Head; Slice 119 of 155; Axial slice; 240x240
FLAIR MR.
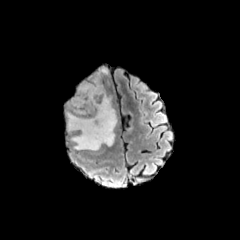
T1-weighted magnetic resonance.
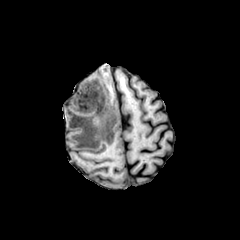
Post-contrast T1-weighted MR.
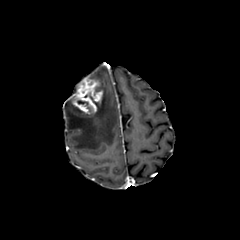
T2-weighted MR.
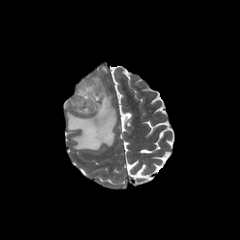
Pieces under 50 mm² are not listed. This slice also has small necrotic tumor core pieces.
enhancing_tumor:
  - bbox=[72, 77, 102, 114]
peritumoral_edema:
  - bbox=[67, 83, 116, 150]